FLAIR magnetic resonance.
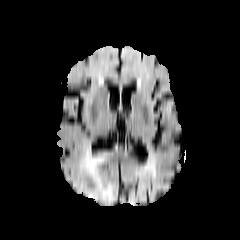
T1-weighted MR.
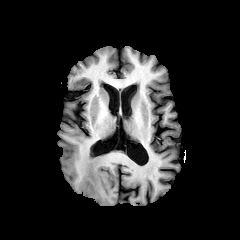
Post-contrast T1-weighted MRI.
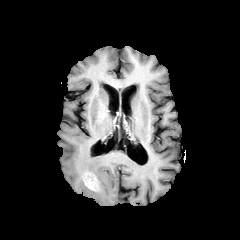
T2-weighted MR image.
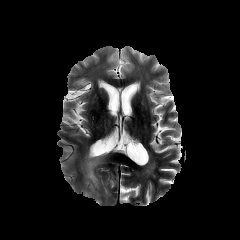
Brain.
Findings:
* peritumoral edema: box(80, 150, 113, 202)
* enhancing tumor: box(84, 172, 98, 190)